FLAIR MRI.
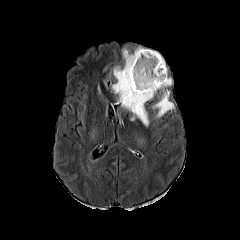
T1-weighted MR.
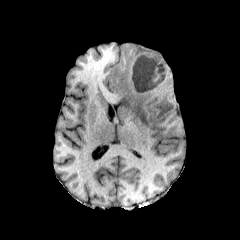
Post-contrast T1-weighted MR image.
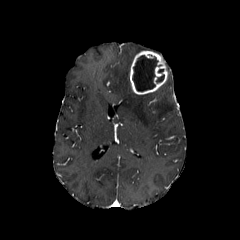
T2-weighted MR image.
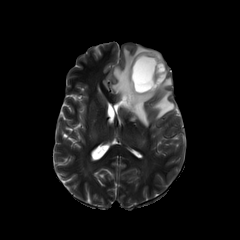
Axial view
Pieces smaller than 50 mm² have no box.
peritumoral edema = (152,77,174,118), (111,46,156,127)
necrotic tumor core = (133,55,158,91)
enhancing tumor = (130,51,168,94)